FLAIR MR image.
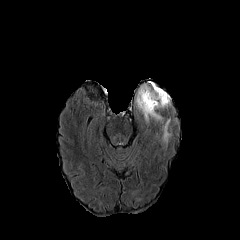
T1-weighted magnetic resonance.
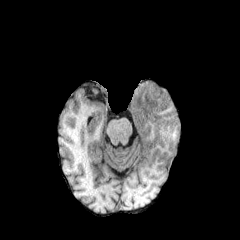
Post-contrast T1-weighted magnetic resonance.
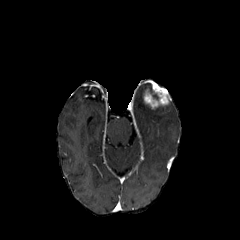
T2-weighted magnetic resonance.
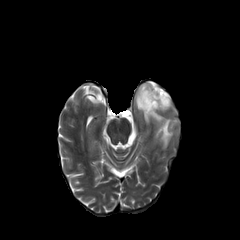
Image size 240x240. Head.
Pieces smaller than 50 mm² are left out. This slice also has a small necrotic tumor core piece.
The largest peritumoral edema region lies within (135, 83, 171, 145). The enhancing tumor is bounded by (143, 81, 171, 109).